Slice 130 of 155
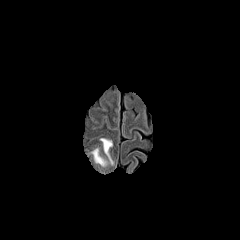
FLAIR MRI.
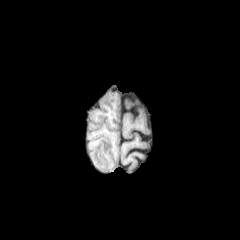
T1-weighted MR image.
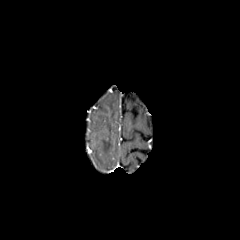
Same slice, post-contrast T1-weighted MR.
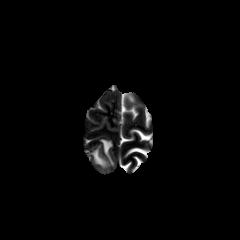
T2-weighted magnetic resonance of the same slice.
peritumoral edema at (92, 138, 113, 166)